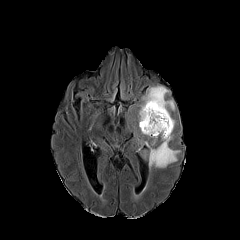
FLAIR magnetic resonance.
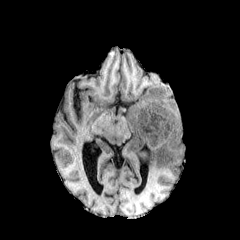
T1-weighted MRI.
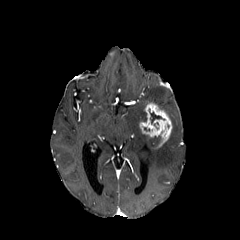
Post-contrast T1-weighted MRI.
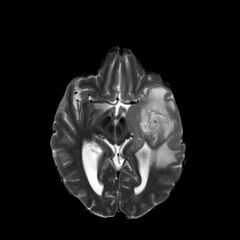
Same slice, T2-weighted MR.
240x240
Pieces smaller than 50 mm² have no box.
The largest necrotic tumor core region is at region(149, 109, 161, 123). The enhancing tumor lies within region(139, 102, 172, 147). The peritumoral edema is at region(136, 85, 180, 168).